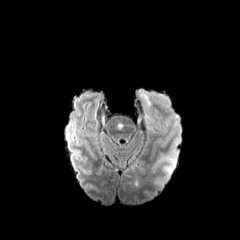
FLAIR MR.
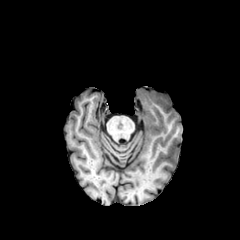
T1-weighted MR of the same slice.
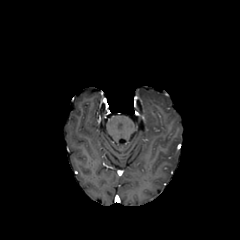
Same slice, post-contrast T1-weighted MRI.
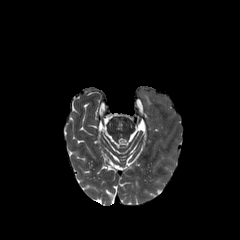
T2-weighted MR of the same slice.
Axial slice
The peritumoral edema is bounded by rect(136, 88, 172, 117).